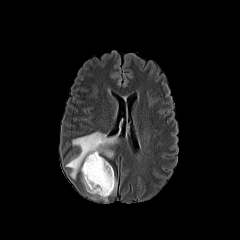
FLAIR magnetic resonance.
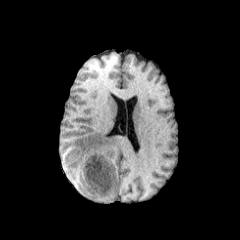
Same slice, T1-weighted magnetic resonance.
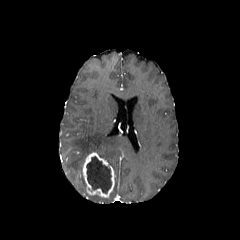
Post-contrast T1-weighted MR of the same slice.
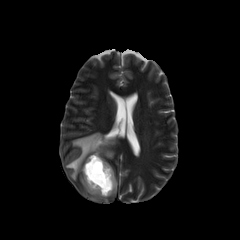
T2-weighted magnetic resonance.
Head, 240x240
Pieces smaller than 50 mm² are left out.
Segmented structures:
• enhancing tumor: [82, 152, 115, 197]
• necrotic tumor core: [86, 156, 111, 193]
• peritumoral edema: [66, 132, 117, 179]